Image covers 240 mm x 240 mm. Slice 61/155. Brain.
FLAIR MRI.
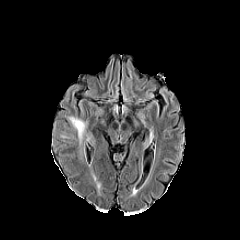
T1-weighted MR.
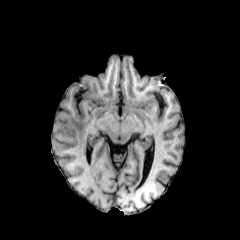
Post-contrast T1-weighted MR image.
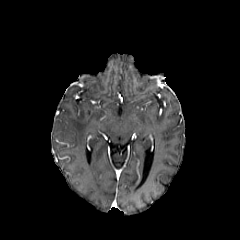
T2-weighted MR.
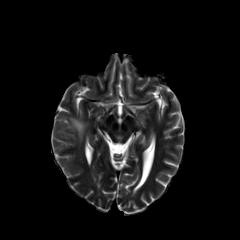
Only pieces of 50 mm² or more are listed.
The largest peritumoral edema region is at bbox(69, 117, 86, 143).